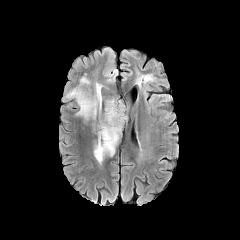
FLAIR MR.
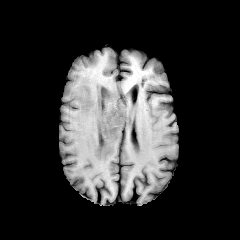
Same slice, T1-weighted magnetic resonance.
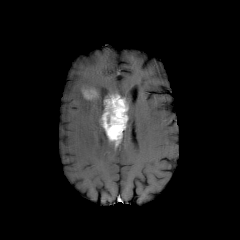
Post-contrast T1-weighted magnetic resonance of the same slice.
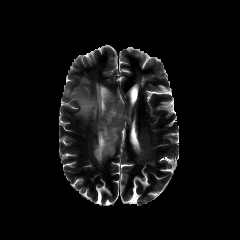
T2-weighted MR.
Head
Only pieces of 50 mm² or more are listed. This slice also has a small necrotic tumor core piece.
peritumoral_edema:
  - <box>80,77,89,84</box>
  - <box>66,82,115,163</box>
enhancing_tumor:
  - <box>82,84,99,100</box>
  - <box>100,94,128,146</box>